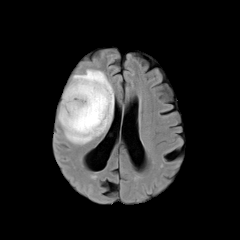
FLAIR MRI.
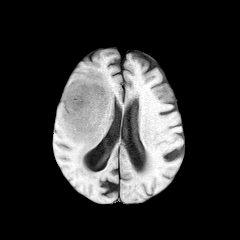
T1-weighted MRI.
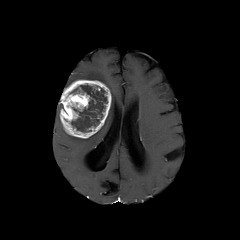
Post-contrast T1-weighted MRI.
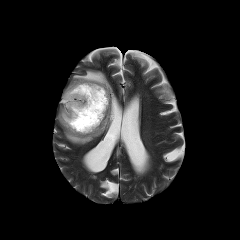
T2-weighted MRI.
Image size 240x240 | Brain
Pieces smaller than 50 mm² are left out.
enhancing tumor: <bbox>60, 80, 111, 138</bbox>
necrotic tumor core: <bbox>71, 85, 107, 131</bbox>
peritumoral edema: <bbox>64, 69, 114, 144</bbox>